FLAIR MRI.
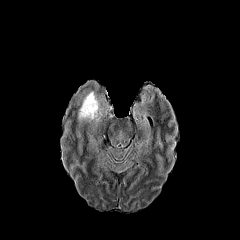
T1-weighted MR image.
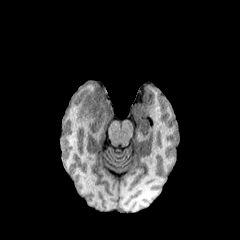
Post-contrast T1-weighted MR image.
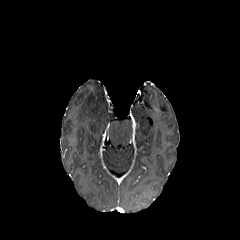
T2-weighted magnetic resonance.
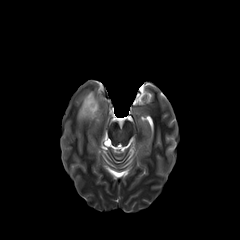
Axial slice
The peritumoral edema appears at bbox=[78, 91, 101, 121].